FLAIR magnetic resonance.
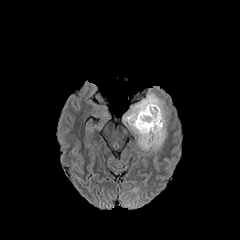
T1-weighted MR.
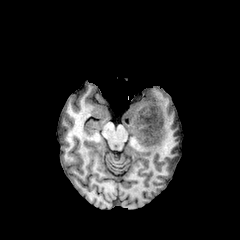
Post-contrast T1-weighted MR image.
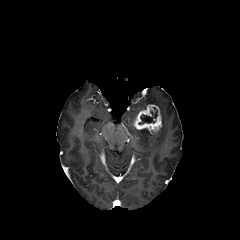
T2-weighted magnetic resonance.
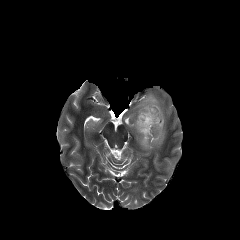
Axial plane, Brain
Segmented structures:
• peritumoral edema: (x1=123, y1=93, x2=166, y2=149)
• enhancing tumor: (x1=133, y1=104, x2=161, y2=132)
• necrotic tumor core: (x1=138, y1=107, x2=157, y2=124)